FLAIR MR image.
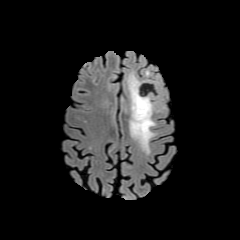
T1-weighted MR.
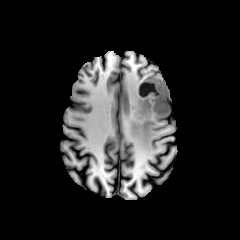
Post-contrast T1-weighted MR.
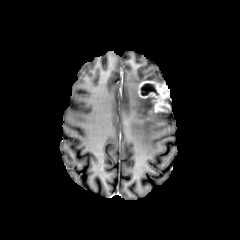
T2-weighted MRI.
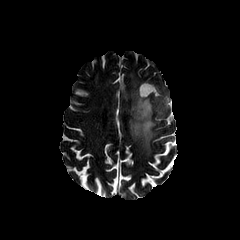
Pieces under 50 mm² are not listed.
Findings:
• necrotic tumor core: {"x1": 141, "y1": 84, "x2": 154, "y2": 95}
• peritumoral edema: {"x1": 127, "y1": 70, "x2": 162, "y2": 152}
• enhancing tumor: {"x1": 138, "y1": 81, "x2": 169, "y2": 112}